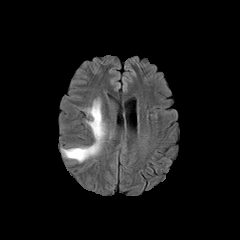
FLAIR MR image.
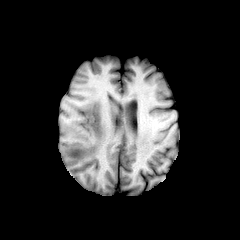
T1-weighted MR image.
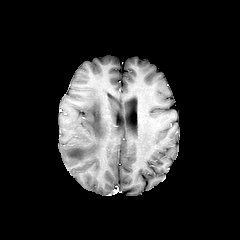
Post-contrast T1-weighted MR of the same slice.
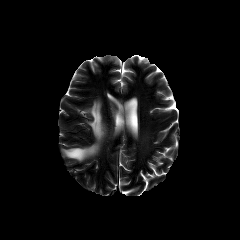
T2-weighted magnetic resonance.
peritumoral edema: box=[61, 99, 106, 162]